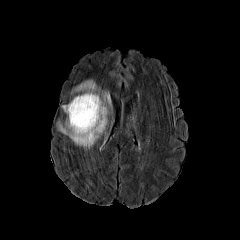
FLAIR MR image.
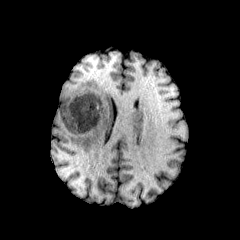
Same slice, T1-weighted magnetic resonance.
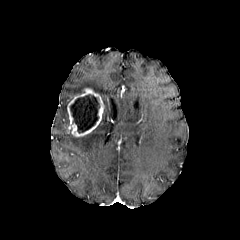
Post-contrast T1-weighted MR image.
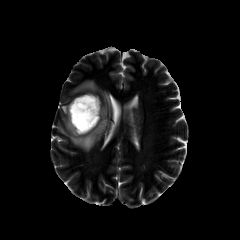
Same slice, T2-weighted MRI.
Axial slice.
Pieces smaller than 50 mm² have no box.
necrotic_tumor_core:
  - l=70, t=94, r=99, b=133
peritumoral_edema:
  - l=58, t=91, r=110, b=150
  - l=72, t=80, r=100, b=93
enhancing_tumor:
  - l=66, t=88, r=104, b=136